Axial plane; Image size 240x240
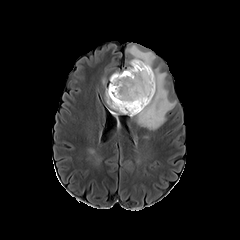
FLAIR magnetic resonance.
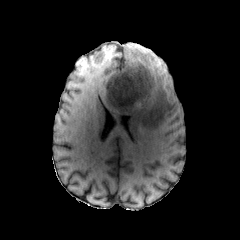
T1-weighted MRI.
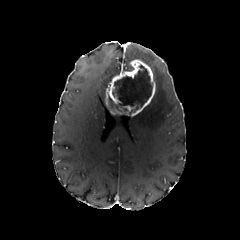
Same slice, post-contrast T1-weighted MR image.
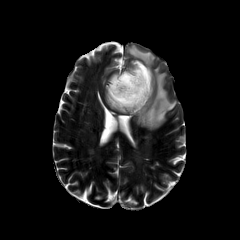
T2-weighted MR.
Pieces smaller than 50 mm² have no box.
<segmentation>
  <necrotic_tumor_core>x1=109 y1=65 x2=152 y2=114</necrotic_tumor_core>
  <peritumoral_edema>x1=134 y1=69 x2=176 y2=130, x1=130 y1=48 x2=151 y2=67</peritumoral_edema>
  <enhancing_tumor>x1=106 y1=59 x2=155 y2=116</enhancing_tumor>
</segmentation>